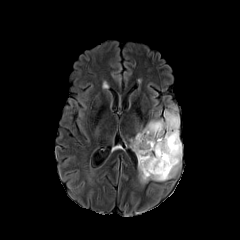
FLAIR MR.
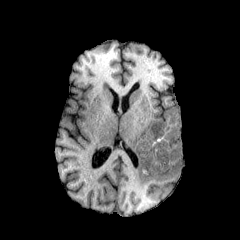
T1-weighted MR of the same slice.
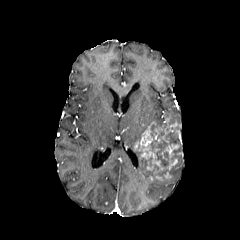
Post-contrast T1-weighted MR image.
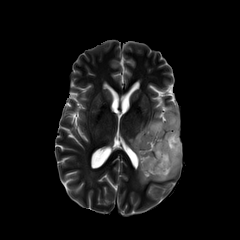
Same slice, T2-weighted MR.
Brain, Axial view, 240x240 px
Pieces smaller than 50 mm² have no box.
Segmented structures:
• necrotic tumor core: rect(140, 127, 180, 179); rect(151, 122, 167, 134)
• enhancing tumor: rect(164, 144, 178, 170); rect(134, 122, 164, 170); rect(153, 118, 177, 142)
• peritumoral edema: rect(171, 156, 180, 177); rect(138, 159, 150, 183); rect(130, 119, 163, 152); rect(164, 108, 179, 129)